Image size 240x240, Head, Axial slice
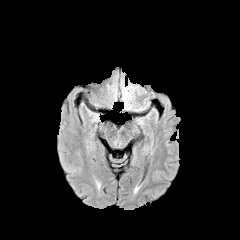
FLAIR magnetic resonance.
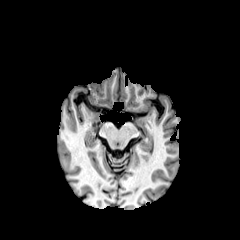
T1-weighted magnetic resonance.
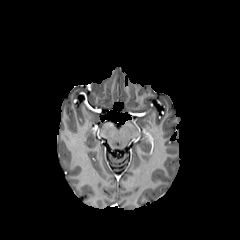
Post-contrast T1-weighted MRI.
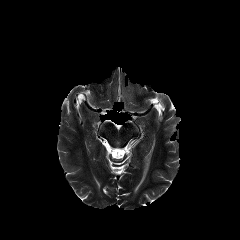
T2-weighted MRI.
The peritumoral edema lies within 122:87:131:108.